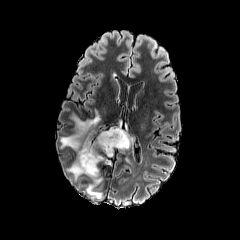
FLAIR MR image.
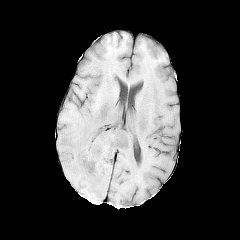
T1-weighted MR image.
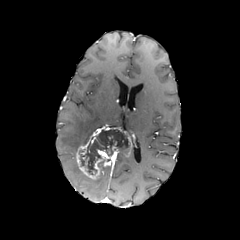
Post-contrast T1-weighted MR image of the same slice.
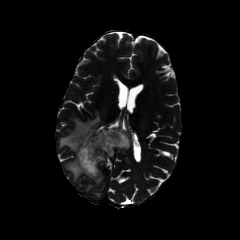
Same slice, T2-weighted MRI.
Brain
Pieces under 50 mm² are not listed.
- peritumoral edema: {"x1": 60, "y1": 110, "x2": 100, "y2": 151}, {"x1": 68, "y1": 160, "x2": 82, "y2": 179}, {"x1": 87, "y1": 185, "x2": 101, "y2": 197}
- enhancing tumor: {"x1": 76, "y1": 127, "x2": 133, "y2": 179}
- necrotic tumor core: {"x1": 80, "y1": 130, "x2": 129, "y2": 174}